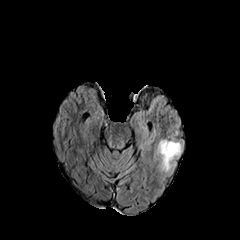
FLAIR MR.
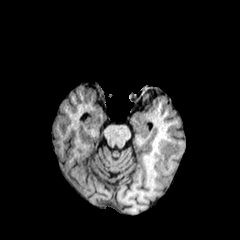
Same slice, T1-weighted MR image.
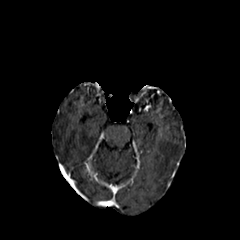
Post-contrast T1-weighted MRI.
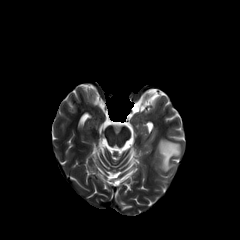
Same slice, T2-weighted magnetic resonance.
Axial slice; Head
peritumoral edema: x1=158, y1=139, x2=182, y2=171